Axial view
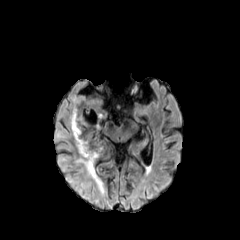
FLAIR MRI.
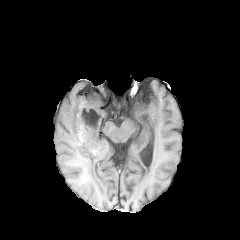
T1-weighted magnetic resonance.
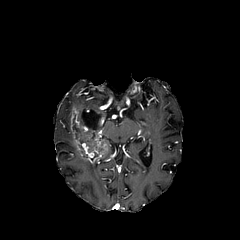
Post-contrast T1-weighted magnetic resonance.
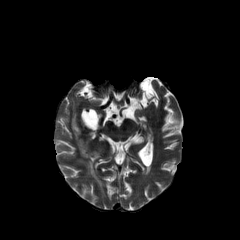
Same slice, T2-weighted magnetic resonance.
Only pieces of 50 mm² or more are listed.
The enhancing tumor is bounded by x1=68 y1=98 x2=109 y2=165. The largest peritumoral edema region is located at x1=75 y1=157 x2=103 y2=189. The 2 largest necrotic tumor core regions are bounded by x1=81 y1=110 x2=101 y2=131, x1=73 y1=115 x2=81 y2=143.